Head
FLAIR MR image.
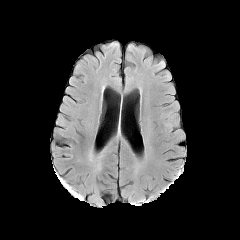
T1-weighted magnetic resonance.
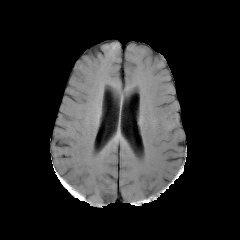
Post-contrast T1-weighted magnetic resonance.
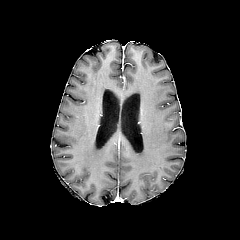
T2-weighted MR image.
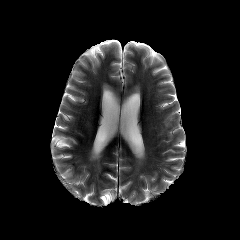
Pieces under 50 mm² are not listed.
Segmented structures:
• peritumoral edema: <bbox>161, 111, 178, 131</bbox>